Head
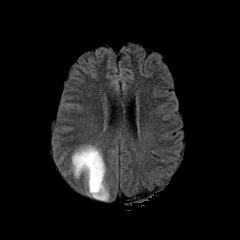
FLAIR MR image.
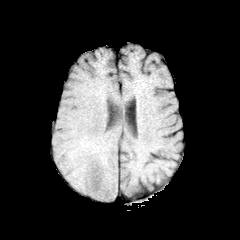
T1-weighted magnetic resonance of the same slice.
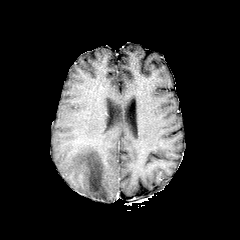
Post-contrast T1-weighted MRI.
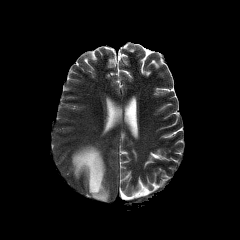
T2-weighted MR image of the same slice.
peritumoral edema: (left=72, top=145, right=109, bottom=200)